Slice 114 of 155
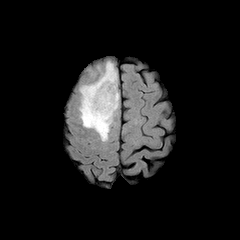
FLAIR MR image.
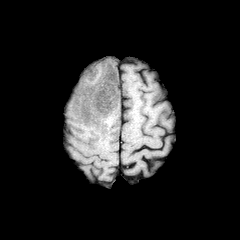
Same slice, T1-weighted MR.
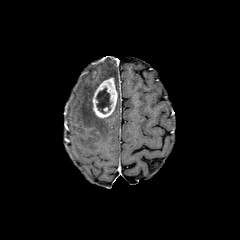
Same slice, post-contrast T1-weighted MRI.
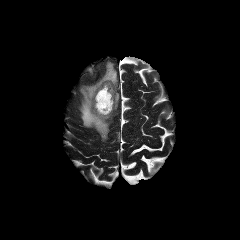
Same slice, T2-weighted MR image.
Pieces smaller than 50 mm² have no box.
peritumoral edema at l=79, t=61, r=117, b=141
necrotic tumor core at l=96, t=88, r=111, b=113
enhancing tumor at l=92, t=77, r=117, b=118